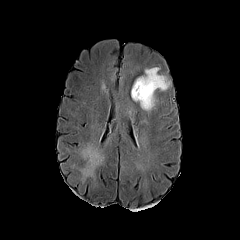
FLAIR MR image.
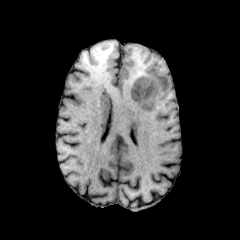
Same slice, T1-weighted MR.
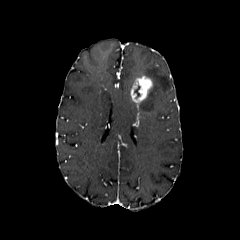
Same slice, post-contrast T1-weighted MR.
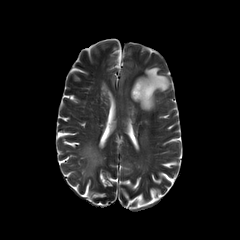
T2-weighted MR.
Brain
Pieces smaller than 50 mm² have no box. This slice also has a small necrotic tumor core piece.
The enhancing tumor lies within [x1=130, y1=76, x2=152, y2=103]. The peritumoral edema is at [x1=140, y1=67, x2=170, y2=111].